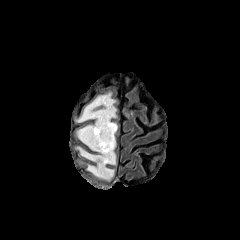
FLAIR MRI.
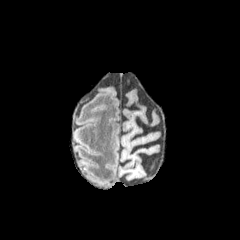
T1-weighted MR image.
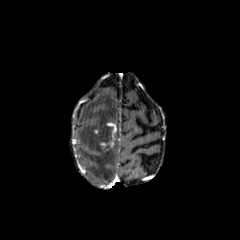
Same slice, post-contrast T1-weighted MRI.
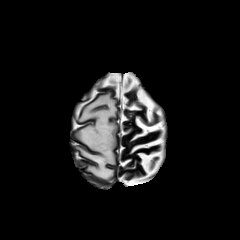
Same slice, T2-weighted MR image.
Image size 240x240, Axial plane, Brain
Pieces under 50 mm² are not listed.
necrotic_tumor_core:
  - <bbox>99, 126, 112, 135</bbox>
enhancing_tumor:
  - <bbox>100, 122, 116, 149</bbox>
peritumoral_edema:
  - <bbox>77, 92, 116, 181</bbox>